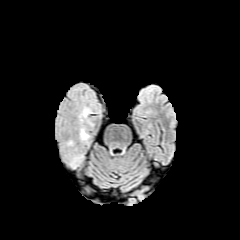
FLAIR MR image.
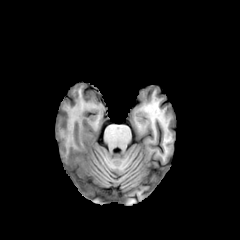
T1-weighted MRI.
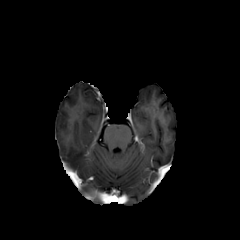
Post-contrast T1-weighted MRI.
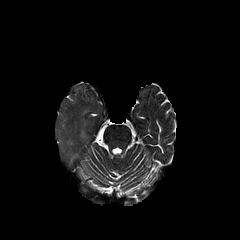
T2-weighted magnetic resonance of the same slice.
Axial slice. 240x240 px.
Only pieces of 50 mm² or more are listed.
peritumoral edema = region(80, 129, 88, 140)